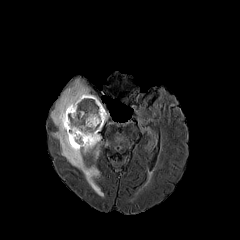
FLAIR magnetic resonance.
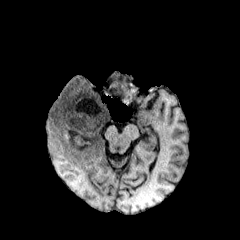
T1-weighted magnetic resonance.
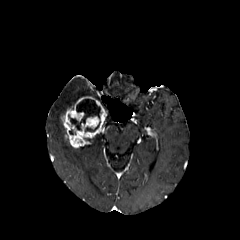
Post-contrast T1-weighted MR image.
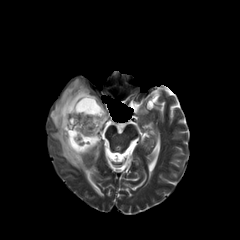
T2-weighted MRI of the same slice.
Axial slice, Head
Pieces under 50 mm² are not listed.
<segmentation>
  <necrotic_tumor_core>85:122:100:131, 68:99:100:130</necrotic_tumor_core>
  <peritumoral_edema>50:78:103:196</peritumoral_edema>
  <enhancing_tumor>60:96:107:148</enhancing_tumor>
</segmentation>